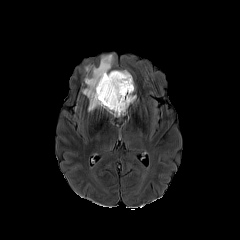
FLAIR MR image.
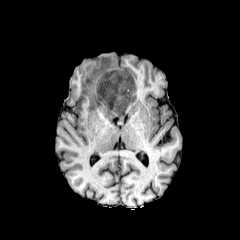
T1-weighted MRI.
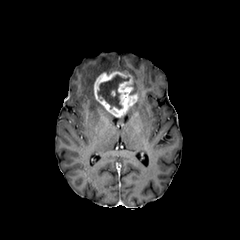
Post-contrast T1-weighted MR image of the same slice.
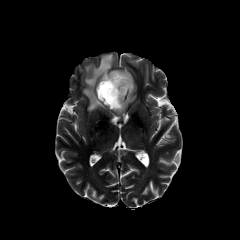
T2-weighted MR image of the same slice.
240x240 px, Brain
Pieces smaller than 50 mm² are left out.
peritumoral edema — <box>82,54,113,111</box>
necrotic tumor core — <box>98,75,129,108</box>
enhancing tumor — <box>94,71,136,116</box>